FLAIR MR.
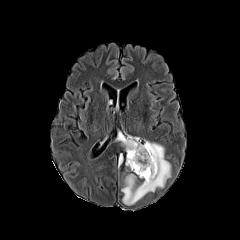
T1-weighted magnetic resonance.
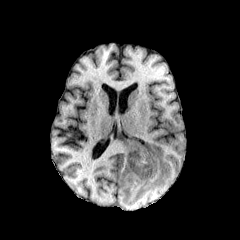
Post-contrast T1-weighted MR.
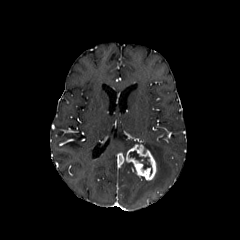
T2-weighted magnetic resonance.
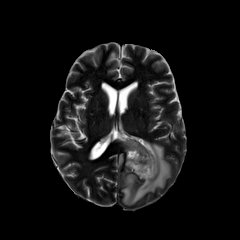
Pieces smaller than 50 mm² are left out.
necrotic_tumor_core:
  - (129,151,152,174)
peritumoral_edema:
  - (121,141,170,205)
  - (117,135,140,151)
enhancing_tumor:
  - (118,153,123,165)
  - (126,144,156,180)